FLAIR MR.
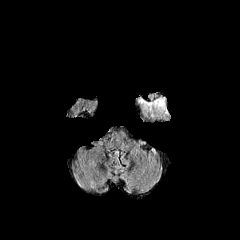
T1-weighted MR.
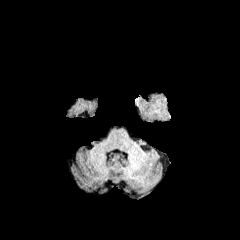
Post-contrast T1-weighted MR.
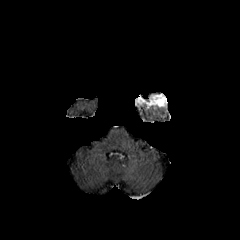
T2-weighted MRI.
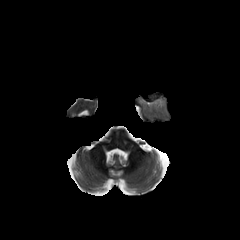
enhancing tumor = (136,94,166,112)
peritumoral edema = (141,106,167,116)